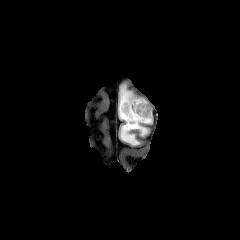
FLAIR MR.
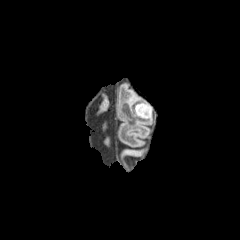
T1-weighted magnetic resonance.
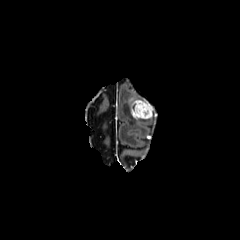
Post-contrast T1-weighted MR image.
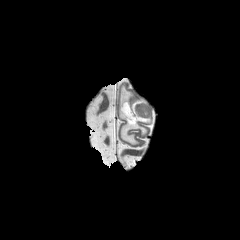
T2-weighted MRI.
Brain | Axial slice
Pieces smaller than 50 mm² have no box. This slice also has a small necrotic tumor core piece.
enhancing tumor = box=[130, 99, 152, 119]
peritumoral edema = box=[119, 85, 151, 145]